Image covers 240 mm x 240 mm; Head; 240x240 px
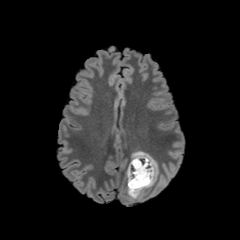
FLAIR MR.
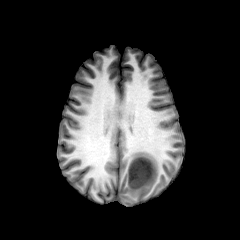
T1-weighted MR image.
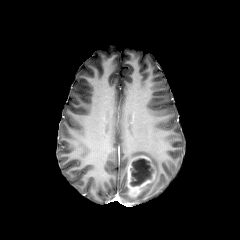
Post-contrast T1-weighted MR image.
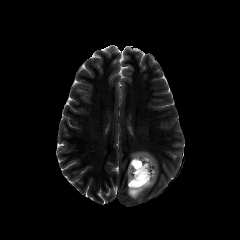
Same slice, T2-weighted MR.
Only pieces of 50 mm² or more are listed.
peritumoral_edema:
  - bbox(129, 151, 158, 199)
necrotic_tumor_core:
  - bbox(130, 158, 154, 186)
enhancing_tumor:
  - bbox(127, 155, 155, 196)